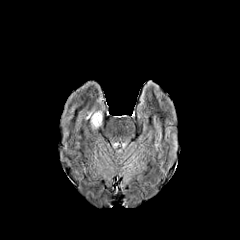
FLAIR MR.
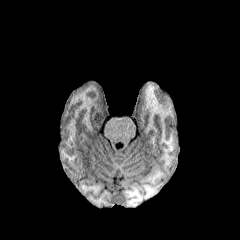
Same slice, T1-weighted MRI.
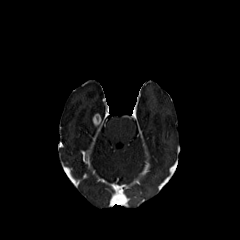
Post-contrast T1-weighted magnetic resonance.
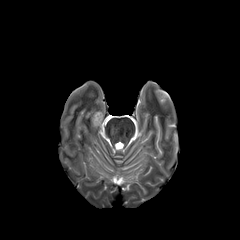
Same slice, T2-weighted MR image.
Axial view
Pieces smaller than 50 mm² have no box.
The largest peritumoral edema region appears at (86, 111, 101, 118). The enhancing tumor is at (92, 113, 101, 126).